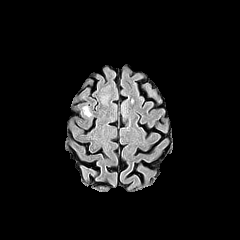
FLAIR MRI.
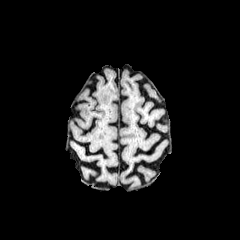
T1-weighted MR.
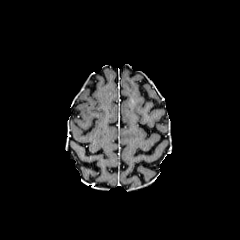
Post-contrast T1-weighted MR of the same slice.
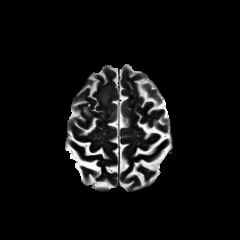
Same slice, T2-weighted MR.
240x240 px. Brain.
{"peritumoral_edema": ["[83, 106, 91, 116]"]}